FLAIR MR.
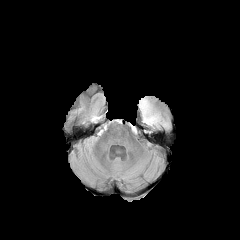
T1-weighted magnetic resonance.
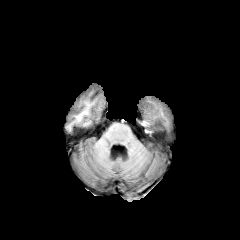
Post-contrast T1-weighted magnetic resonance.
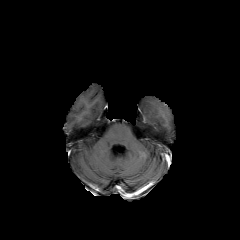
T2-weighted MR.
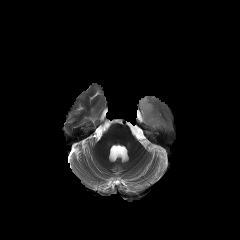
Head
The peritumoral edema appears at (x1=139, y1=97, x2=166, y2=128).